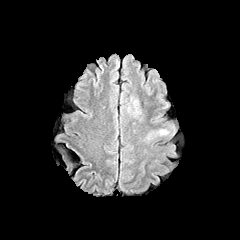
FLAIR MR.
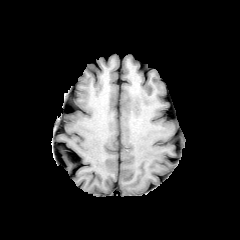
T1-weighted magnetic resonance.
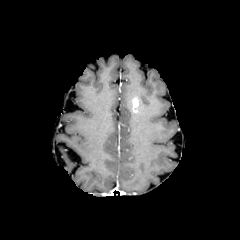
Post-contrast T1-weighted magnetic resonance.
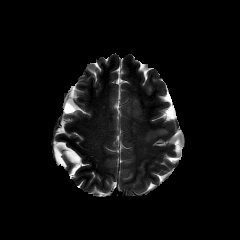
T2-weighted MRI.
Axial slice. Brain. 240x240.
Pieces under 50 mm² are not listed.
peritumoral edema = [127,103,141,116]
enhancing tumor = [130,97,139,112]